Image width 240 mm | Axial view | 240x240 px | Slice 85/155 | Brain
FLAIR MR image.
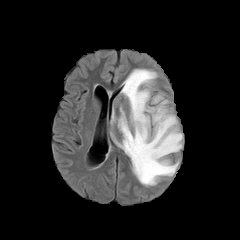
T1-weighted MR.
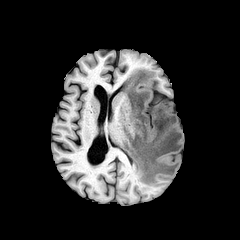
Post-contrast T1-weighted MR.
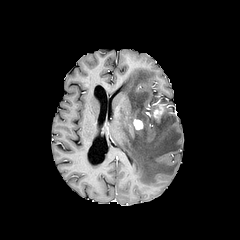
T2-weighted MRI.
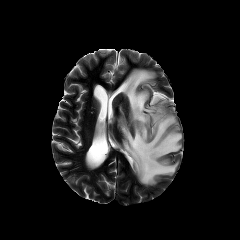
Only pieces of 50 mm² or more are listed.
The 2 largest peritumoral edema regions are bounded by 111 69 182 185, 152 95 167 105. 2 enhancing tumor regions are bounded by 147 100 164 122, 133 115 143 129.